Brain | Slice 91 of 155 | Axial plane
FLAIR MR image.
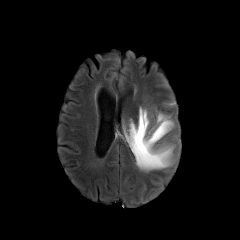
T1-weighted MR.
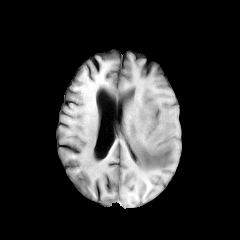
Post-contrast T1-weighted MR image.
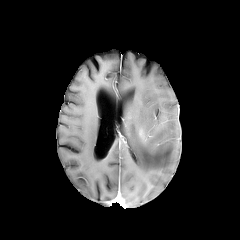
T2-weighted MR.
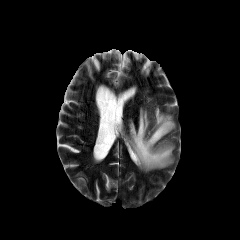
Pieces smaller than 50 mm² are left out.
<segmentation>
  <peritumoral_edema>(left=125, top=107, right=174, bottom=171)</peritumoral_edema>
</segmentation>